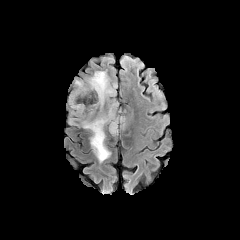
FLAIR MR.
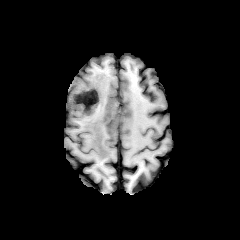
T1-weighted magnetic resonance.
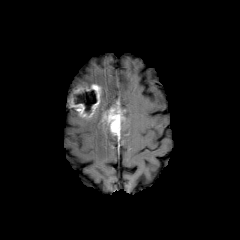
Post-contrast T1-weighted MRI.
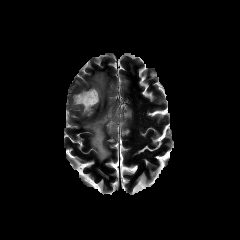
T2-weighted magnetic resonance.
240x240 | Brain
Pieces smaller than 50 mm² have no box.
peritumoral edema: bounding box <bbox>83, 118, 110, 161</bbox>, <bbox>88, 72, 113, 104</bbox>
necrotic tumor core: bounding box <bbox>75, 90, 96, 112</bbox>
enhancing tumor: bounding box <bbox>101, 101, 131, 137</bbox>, <bbox>69, 84, 101, 117</bbox>